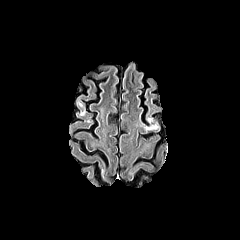
FLAIR MR image.
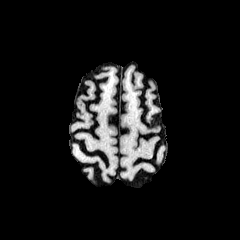
Same slice, T1-weighted MR.
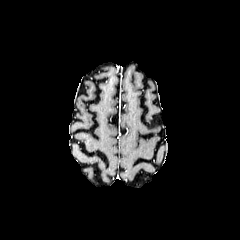
Same slice, post-contrast T1-weighted MR image.
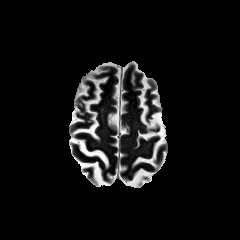
T2-weighted MR image.
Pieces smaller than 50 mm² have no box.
peritumoral edema: bounding box (146,123,158,130)